Axial plane
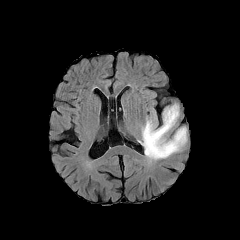
FLAIR MR image.
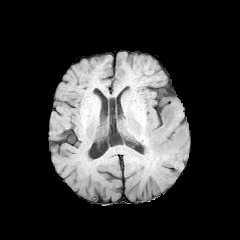
Same slice, T1-weighted MR.
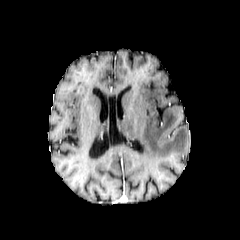
Post-contrast T1-weighted MR.
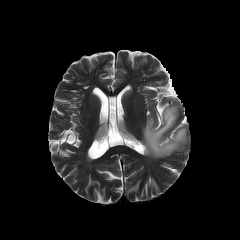
T2-weighted magnetic resonance.
peritumoral edema: 140 104 186 159